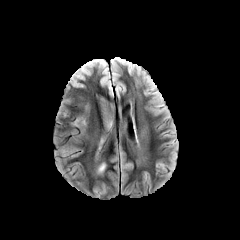
FLAIR MRI.
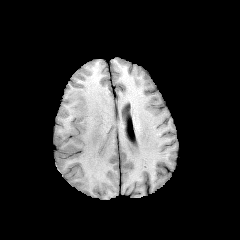
T1-weighted MR.
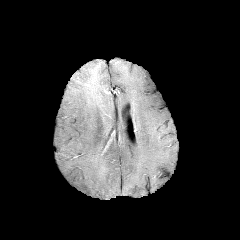
Post-contrast T1-weighted MR.
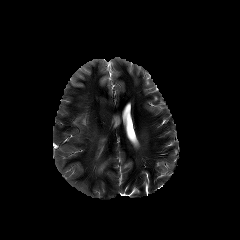
T2-weighted magnetic resonance.
Brain
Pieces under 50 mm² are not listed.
peritumoral edema = <box>98,163,105,172</box>